Axial plane, Image size 240x240
FLAIR MR.
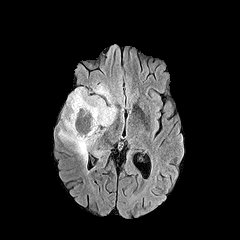
T1-weighted MR image.
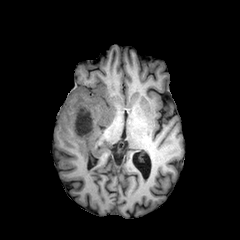
Post-contrast T1-weighted magnetic resonance.
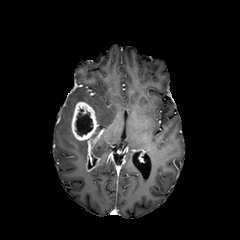
T2-weighted magnetic resonance.
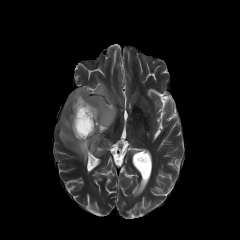
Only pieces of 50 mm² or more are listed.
The necrotic tumor core appears at box(76, 109, 92, 135). The 2 largest peritumoral edema regions appear at box(93, 84, 113, 103); box(59, 87, 116, 162). 2 enhancing tumor regions appear at box(71, 101, 98, 140); box(87, 131, 102, 170).